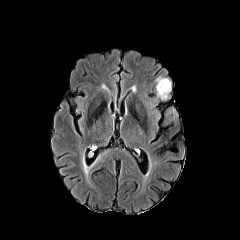
FLAIR MR.
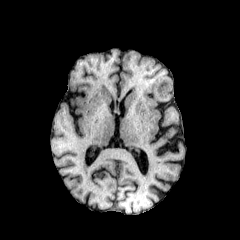
T1-weighted MR image of the same slice.
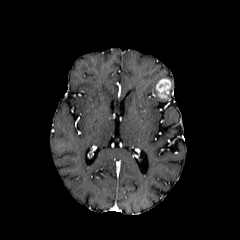
Post-contrast T1-weighted MR.
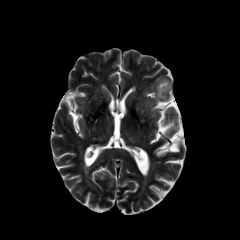
T2-weighted magnetic resonance.
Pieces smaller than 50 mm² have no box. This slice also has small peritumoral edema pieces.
enhancing tumor = (left=156, top=78, right=171, bottom=99)